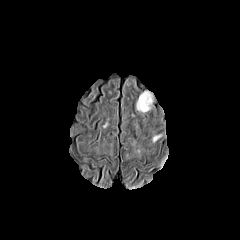
FLAIR MR.
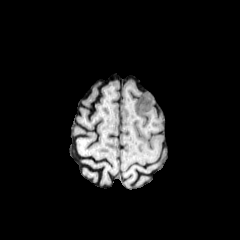
Same slice, T1-weighted magnetic resonance.
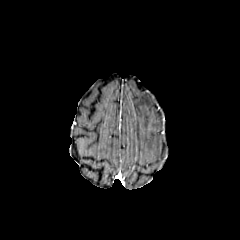
Post-contrast T1-weighted MR image.
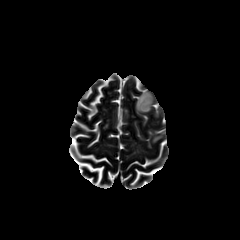
Same slice, T2-weighted magnetic resonance.
Image size 240x240, Axial plane
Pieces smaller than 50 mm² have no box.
peritumoral edema at (x1=136, y1=90, x2=154, y2=112)